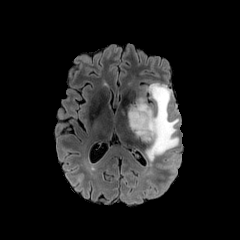
FLAIR magnetic resonance.
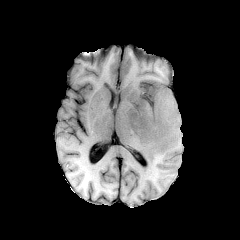
T1-weighted magnetic resonance of the same slice.
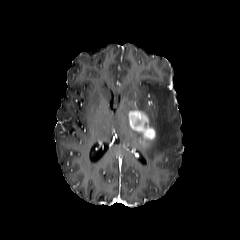
Post-contrast T1-weighted MRI.
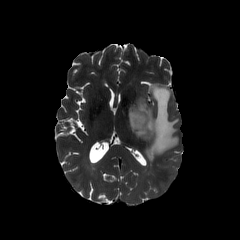
T2-weighted MR.
240x240 px. Head.
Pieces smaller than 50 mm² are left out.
<segmentation>
  <enhancing_tumor>region(128, 108, 156, 142)</enhancing_tumor>
  <peritumoral_edema>region(128, 82, 179, 161)</peritumoral_edema>
</segmentation>